Head
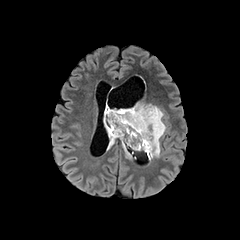
FLAIR MR.
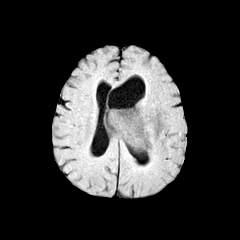
T1-weighted MR.
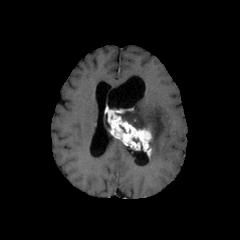
Post-contrast T1-weighted MRI.
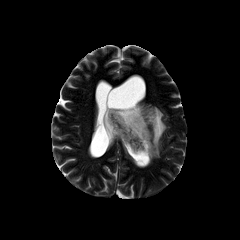
T2-weighted MRI of the same slice.
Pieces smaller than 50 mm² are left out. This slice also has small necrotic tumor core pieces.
3 peritumoral edema regions are bounded by x1=117, y1=102, x2=166, y2=159; x1=103, y1=114, x2=115, y2=150; x1=122, y1=143, x2=131, y2=159. The enhancing tumor is bounded by x1=104, y1=106, x2=152, y2=157.